Image width 240 mm, 1.00 mm slice spacing; Slice 104 of 155
FLAIR magnetic resonance.
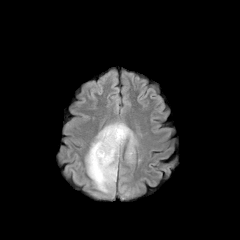
T1-weighted magnetic resonance.
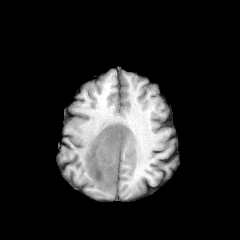
Post-contrast T1-weighted magnetic resonance.
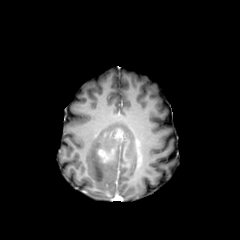
T2-weighted magnetic resonance.
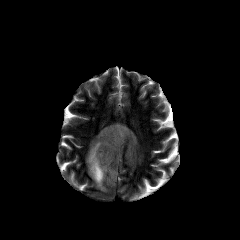
peritumoral edema: bounding box 85:122:137:192
enhancing tumor: bounding box 115:129:123:140, 98:149:113:162